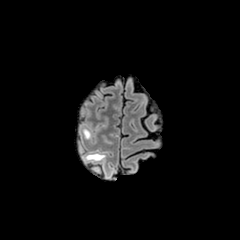
FLAIR MRI.
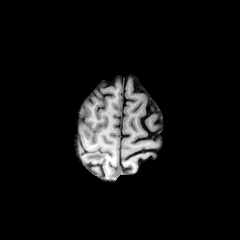
T1-weighted MRI.
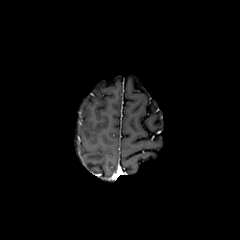
Post-contrast T1-weighted MR image.
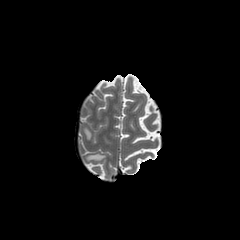
T2-weighted MR image of the same slice.
Axial slice.
peritumoral edema: region(85, 154, 104, 160); region(83, 128, 90, 138)